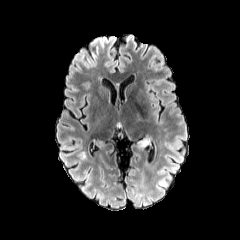
FLAIR MR image.
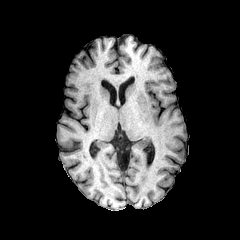
T1-weighted magnetic resonance of the same slice.
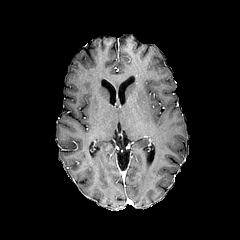
Post-contrast T1-weighted magnetic resonance.
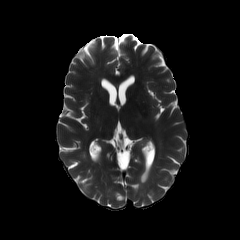
T2-weighted MRI.
Findings:
• peritumoral edema: 137, 137, 149, 148